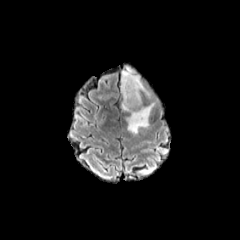
FLAIR MR.
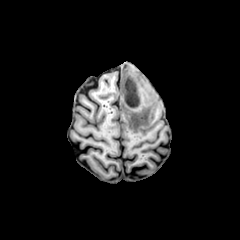
Same slice, T1-weighted MR.
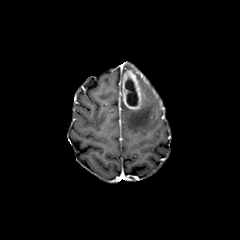
Same slice, post-contrast T1-weighted magnetic resonance.
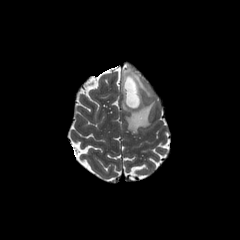
T2-weighted MRI.
Head
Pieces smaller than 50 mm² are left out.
<segmentation>
  <necrotic_tumor_core>x1=125, y1=78, x2=138, y2=106</necrotic_tumor_core>
  <peritumoral_edema>x1=121, y1=73, x2=156, y2=133</peritumoral_edema>
  <enhancing_tumor>x1=122, y1=70, x2=141, y2=109</enhancing_tumor>
</segmentation>